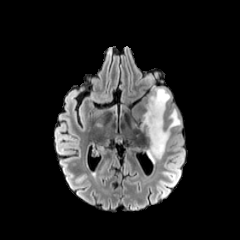
FLAIR magnetic resonance.
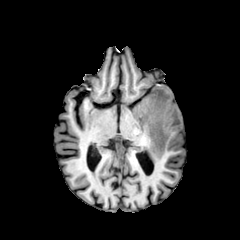
T1-weighted magnetic resonance of the same slice.
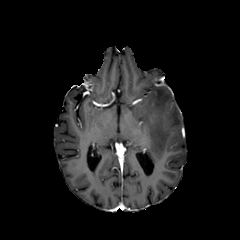
Same slice, post-contrast T1-weighted MR image.
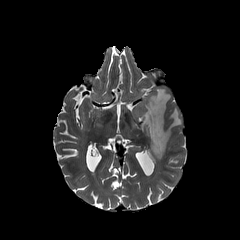
T2-weighted MR of the same slice.
Axial view. Brain.
peritumoral edema = (left=135, top=87, right=181, bottom=160)